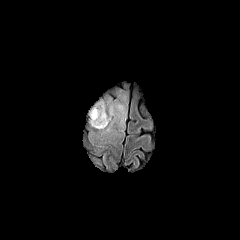
FLAIR magnetic resonance.
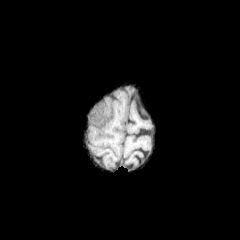
Same slice, T1-weighted magnetic resonance.
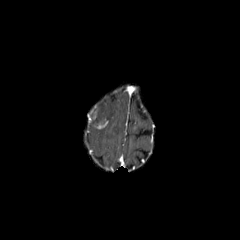
Post-contrast T1-weighted MRI of the same slice.
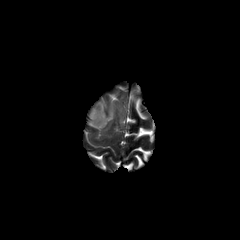
T2-weighted MR.
Brain
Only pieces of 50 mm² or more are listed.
{
  "peritumoral_edema": [
    "[96, 101, 126, 135]"
  ],
  "enhancing_tumor": [
    "[93, 118, 108, 129]",
    "[88, 106, 97, 121]"
  ],
  "necrotic_tumor_core": [
    "[92, 114, 103, 124]"
  ]
}